Head; 240x240
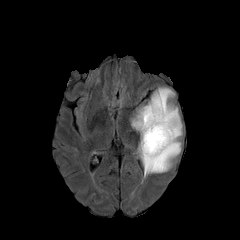
FLAIR MR image.
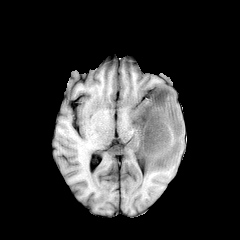
T1-weighted magnetic resonance of the same slice.
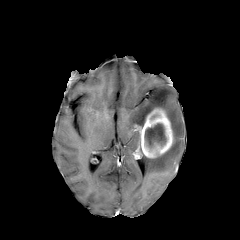
Post-contrast T1-weighted magnetic resonance.
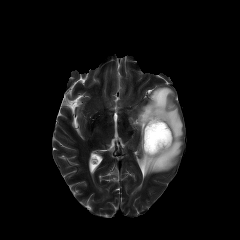
T2-weighted MR image.
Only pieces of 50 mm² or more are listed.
Annotated regions:
* necrotic tumor core: 145 123 166 147
* enhancing tumor: 135 108 173 157
* peritumoral edema: 131 87 183 176